240x240; Slice index 94
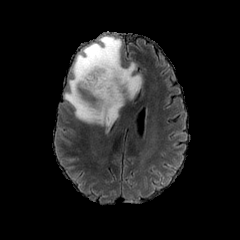
FLAIR MRI.
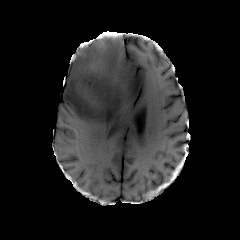
T1-weighted MR.
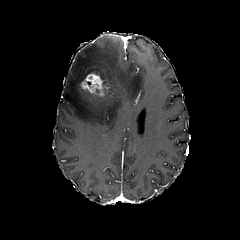
Post-contrast T1-weighted MR.
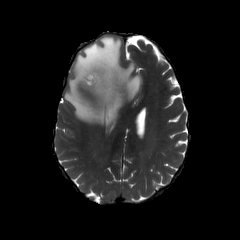
Same slice, T2-weighted MR image.
enhancing tumor: [x1=81, y1=69, x2=112, y2=98]
peritumoral edema: [x1=64, y1=35, x2=141, y2=127]